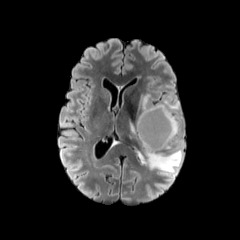
FLAIR MRI.
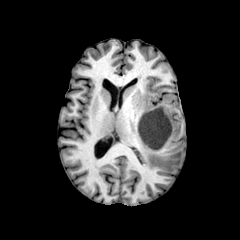
T1-weighted MRI of the same slice.
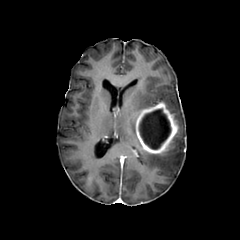
Post-contrast T1-weighted MR of the same slice.
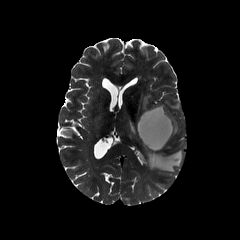
T2-weighted MRI.
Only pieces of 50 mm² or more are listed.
necrotic_tumor_core:
  - 139:109:171:149
enhancing_tumor:
  - 135:102:178:154
peritumoral_edema:
  - 137:146:182:174
  - 138:94:155:113
  - 156:96:181:149
  - 129:120:137:139